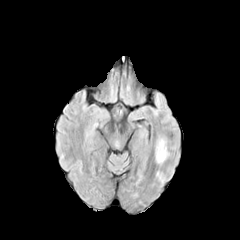
FLAIR magnetic resonance.
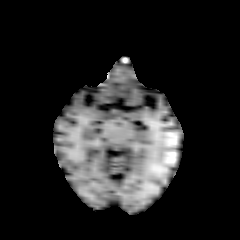
T1-weighted magnetic resonance.
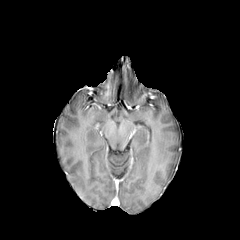
Post-contrast T1-weighted MR image.
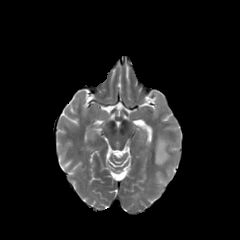
T2-weighted MRI of the same slice.
Axial plane.
The peritumoral edema lies within <box>156,138,169,164</box>.